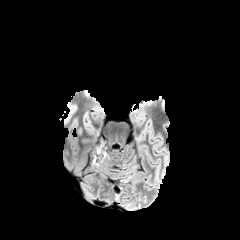
FLAIR MRI.
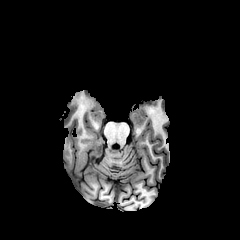
T1-weighted MR.
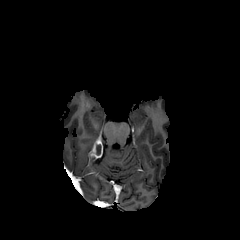
Post-contrast T1-weighted magnetic resonance.
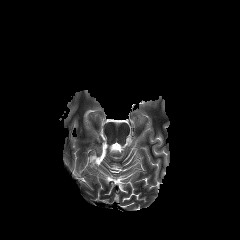
T2-weighted MRI of the same slice.
240x240 px. Head.
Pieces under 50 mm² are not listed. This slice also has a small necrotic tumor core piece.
peritumoral_edema:
  - (left=92, top=147, right=108, bottom=164)
enhancing_tumor:
  - (left=93, top=141, right=103, bottom=157)